Axial view, 240x240 px, Head, Image width 240 mm
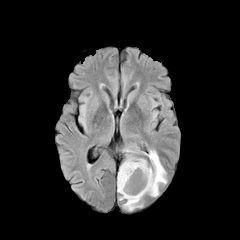
FLAIR magnetic resonance.
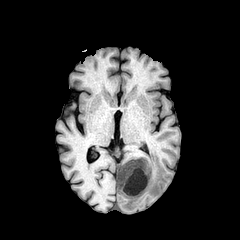
Same slice, T1-weighted MRI.
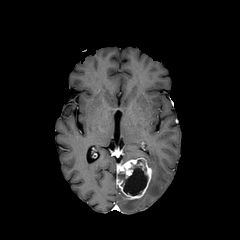
Same slice, post-contrast T1-weighted MR.
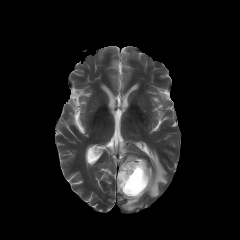
Same slice, T2-weighted MR.
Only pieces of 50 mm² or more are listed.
necrotic_tumor_core:
  - 118:165:147:195
peritumoral_edema:
  - 117:187:125:200
  - 145:150:166:197
  - 123:198:142:210
enhancing_tumor:
  - 116:158:152:199